FLAIR MR image.
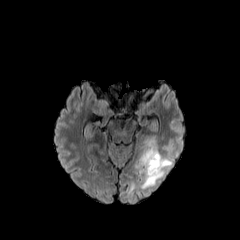
T1-weighted MRI.
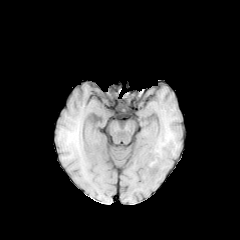
Post-contrast T1-weighted magnetic resonance.
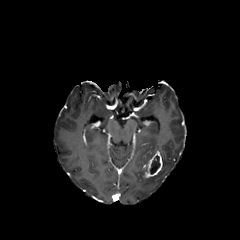
T2-weighted magnetic resonance.
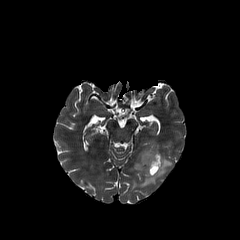
Head; Axial plane
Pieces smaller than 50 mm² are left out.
Annotated regions:
* peritumoral edema: 130 139 172 188
* enhancing tumor: 142 151 162 177
* necrotic tumor core: 150 156 159 174